Axial plane; Head
FLAIR MR image.
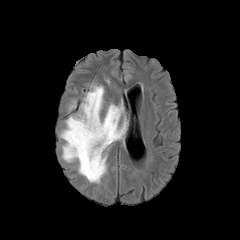
T1-weighted MR image.
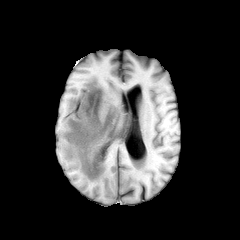
Post-contrast T1-weighted MR.
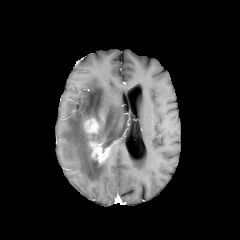
T2-weighted magnetic resonance.
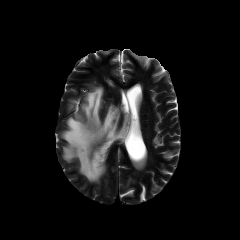
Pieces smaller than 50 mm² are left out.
The largest peritumoral edema region is at 61,86,126,182. The largest enhancing tumor region is at 83,116,109,164.